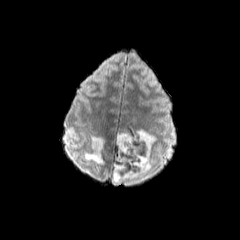
FLAIR MR.
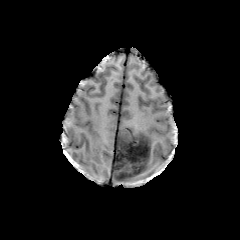
Same slice, T1-weighted MR image.
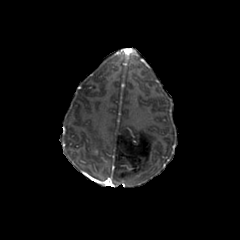
Same slice, post-contrast T1-weighted MR.
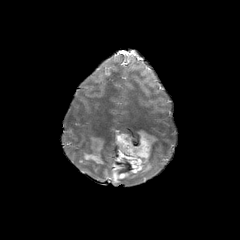
T2-weighted MR.
Image size 240x240, Head, Axial view
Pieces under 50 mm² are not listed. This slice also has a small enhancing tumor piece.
peritumoral_edema:
  - <bbox>112, 129, 155, 182</bbox>
  - <bbox>84, 135, 103, 163</bbox>